Image covers 240 mm x 240 mm. Head. 240x240 px. Axial plane.
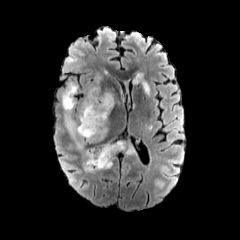
FLAIR MR.
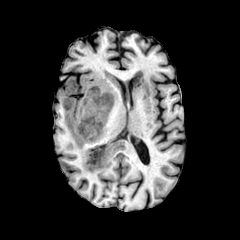
T1-weighted MR.
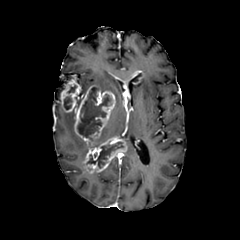
Same slice, post-contrast T1-weighted MR.
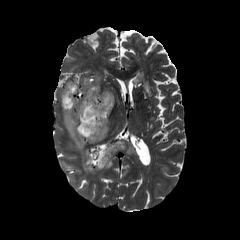
T2-weighted MRI of the same slice.
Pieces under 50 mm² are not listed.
Annotated regions:
- peritumoral edema: region(94, 125, 107, 143); region(139, 77, 148, 92); region(119, 144, 135, 154); region(64, 112, 86, 150)
- necrotic tumor core: region(77, 87, 110, 140); region(87, 142, 123, 168); region(64, 97, 71, 109)
- enhancing tumor: region(60, 77, 115, 143); region(83, 138, 126, 173); region(133, 71, 143, 82)